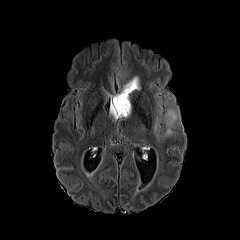
FLAIR magnetic resonance.
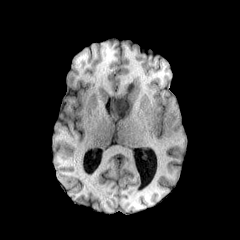
Same slice, T1-weighted MRI.
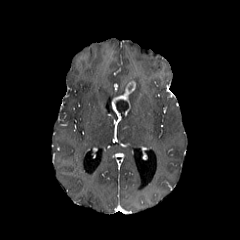
Post-contrast T1-weighted MRI.
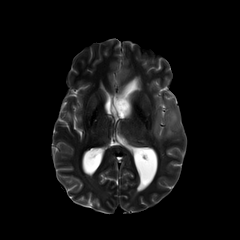
T2-weighted MRI.
Axial view
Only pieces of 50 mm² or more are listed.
The largest necrotic tumor core region is located at 115:100:128:117. The enhancing tumor lies within 111:81:135:119. The 4 largest peritumoral edema regions are bounded by 155:117:162:130, 113:84:126:98, 164:109:179:136, 132:77:140:90.